Head. Axial slice.
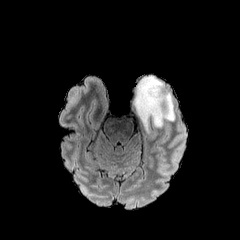
FLAIR MR image.
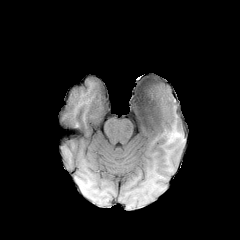
T1-weighted MR.
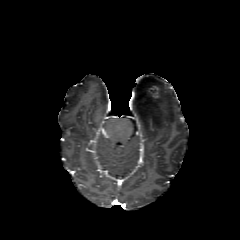
Same slice, post-contrast T1-weighted MR.
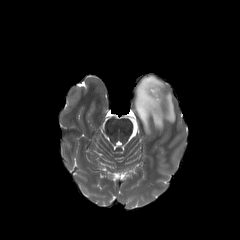
Same slice, T2-weighted MRI.
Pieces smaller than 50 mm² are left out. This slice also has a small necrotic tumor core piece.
The enhancing tumor is located at box=[149, 86, 158, 98]. The peritumoral edema is bounded by box=[132, 75, 175, 134].